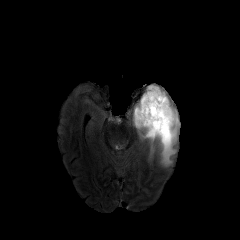
FLAIR MRI.
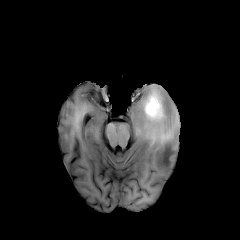
Same slice, T1-weighted MR image.
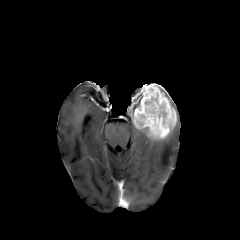
Post-contrast T1-weighted magnetic resonance of the same slice.
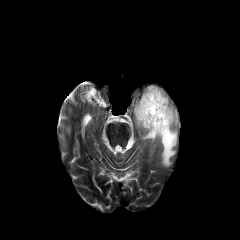
T2-weighted MRI.
Axial plane.
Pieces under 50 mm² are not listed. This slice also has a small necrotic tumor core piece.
enhancing tumor — 133 84 176 138
peritumoral edema — 137 88 180 166